Brain.
FLAIR MR.
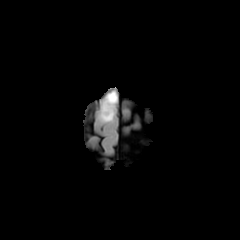
T1-weighted MRI.
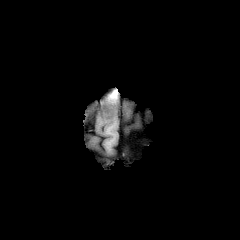
Post-contrast T1-weighted magnetic resonance.
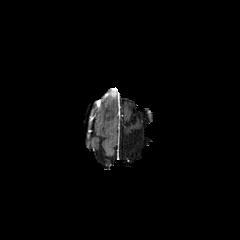
T2-weighted MRI.
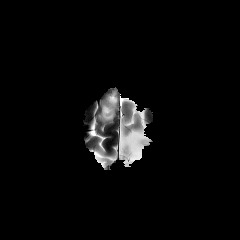
The peritumoral edema is bounded by [99,96,116,122]. The enhancing tumor is at [108,88,116,97].